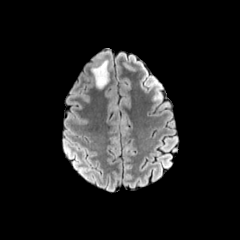
FLAIR MRI.
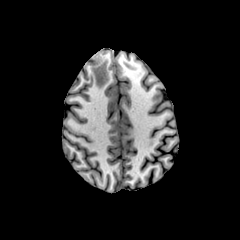
T1-weighted MR image of the same slice.
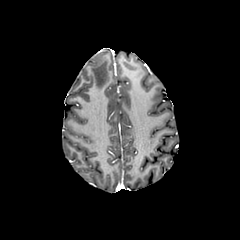
Post-contrast T1-weighted MR image.
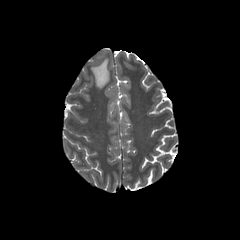
T2-weighted MR of the same slice.
Axial slice. 240x240 px.
Annotated regions:
* peritumoral edema: x1=92, y1=55, x2=108, y2=88